FLAIR magnetic resonance.
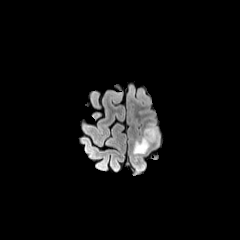
T1-weighted MR.
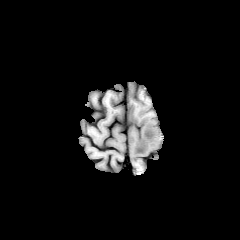
Post-contrast T1-weighted magnetic resonance.
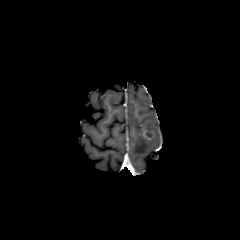
T2-weighted MRI.
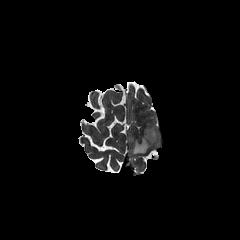
Brain | 240x240 px
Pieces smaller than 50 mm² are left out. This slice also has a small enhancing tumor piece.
The peritumoral edema appears at (left=133, top=123, right=159, bottom=153).